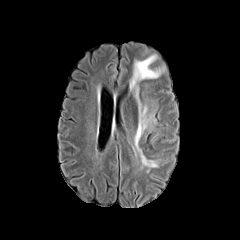
FLAIR magnetic resonance.
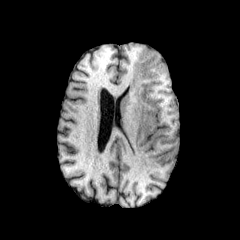
Same slice, T1-weighted magnetic resonance.
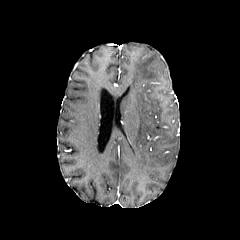
Post-contrast T1-weighted MRI.
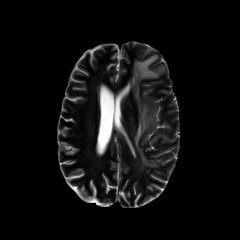
T2-weighted MRI.
The peritumoral edema is bounded by [x1=130, y1=55, x2=163, y2=167].